240x240 px, Slice 87 of 155, Head
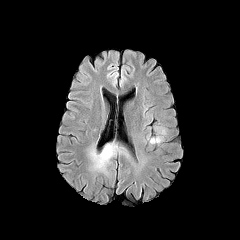
FLAIR MRI.
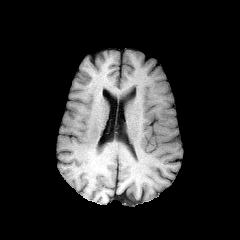
T1-weighted MR image of the same slice.
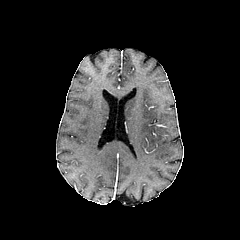
Post-contrast T1-weighted MR.
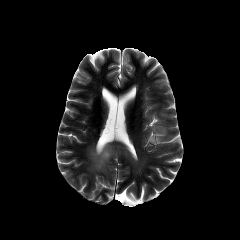
Same slice, T2-weighted magnetic resonance.
2 peritumoral edema regions are located at box=[148, 126, 165, 143]; box=[94, 147, 113, 169].